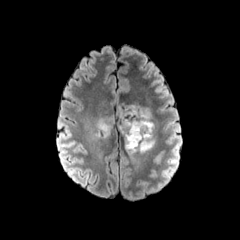
FLAIR magnetic resonance.
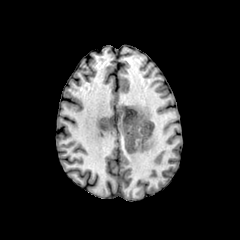
T1-weighted MRI.
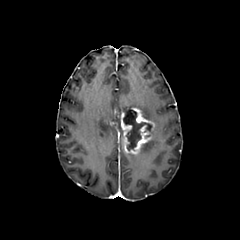
Post-contrast T1-weighted MR.
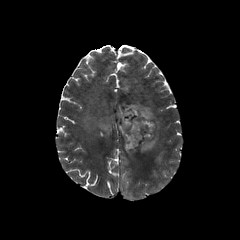
Same slice, T2-weighted MRI.
Axial plane.
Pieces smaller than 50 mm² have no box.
{
  "enhancing_tumor": [
    "left=117, top=107, right=154, bottom=153"
  ],
  "peritumoral_edema": [
    "left=97, top=117, right=112, bottom=137",
    "left=139, top=132, right=155, bottom=152",
    "left=118, top=104, right=153, bottom=120"
  ],
  "necrotic_tumor_core": [
    "left=123, top=108, right=152, bottom=150"
  ]
}